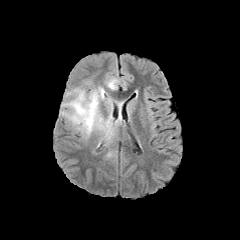
FLAIR MR image.
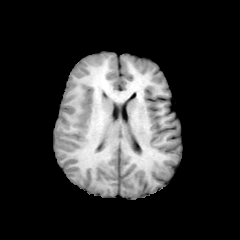
T1-weighted MR.
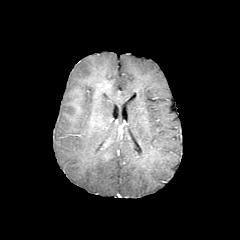
Same slice, post-contrast T1-weighted MR image.
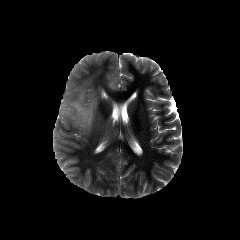
T2-weighted MR.
Head
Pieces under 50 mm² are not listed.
Segmented structures:
- peritumoral edema: x1=62 y1=87 x2=121 y2=140, x1=107 y1=78 x2=117 y2=89